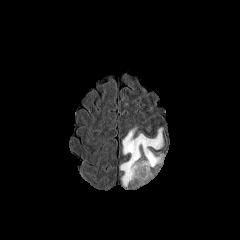
FLAIR MRI.
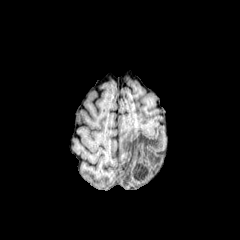
T1-weighted MR.
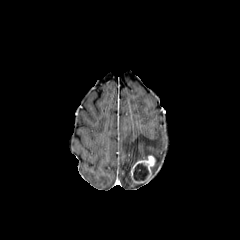
Post-contrast T1-weighted MR.
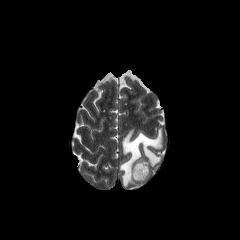
T2-weighted MR image.
Brain. 240x240.
The necrotic tumor core lies within box(133, 163, 148, 181). The peritumoral edema is at box(120, 125, 164, 187). The enhancing tumor lies within box(130, 155, 155, 183).